Head; Axial slice
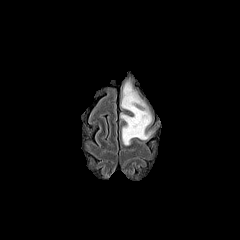
FLAIR MR image.
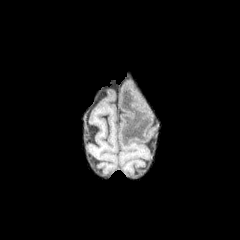
Same slice, T1-weighted MR image.
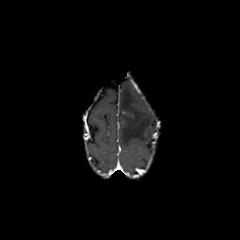
Same slice, post-contrast T1-weighted magnetic resonance.
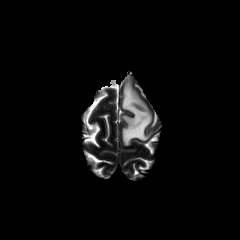
T2-weighted MR of the same slice.
<segmentation>
  <peritumoral_edema>[119, 78, 154, 145]</peritumoral_edema>
</segmentation>